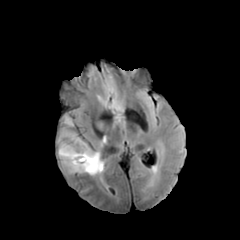
FLAIR MRI.
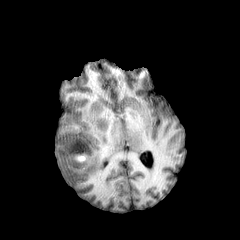
T1-weighted MR image.
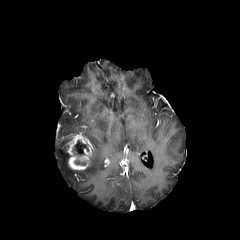
Same slice, post-contrast T1-weighted MR image.
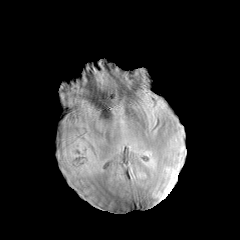
Same slice, T2-weighted MR image.
240x240 px
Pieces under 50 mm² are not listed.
necrotic_tumor_core:
  - l=74, t=141, r=88, b=155
enhancing_tumor:
  - l=61, t=133, r=92, b=170
peritumoral_edema:
  - l=64, t=116, r=73, b=126
  - l=61, t=130, r=75, b=136
  - l=58, t=141, r=104, b=175